FLAIR MR.
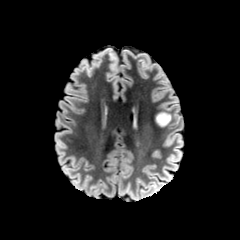
T1-weighted MR.
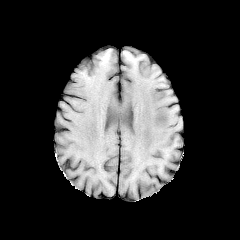
Post-contrast T1-weighted MRI.
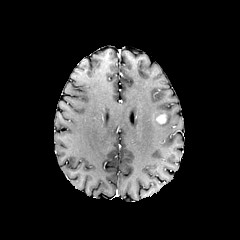
T2-weighted MRI.
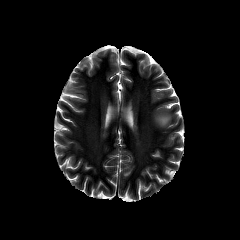
Head
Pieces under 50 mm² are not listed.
peritumoral edema: 155:111:171:126 | enhancing tumor: 156:113:166:123